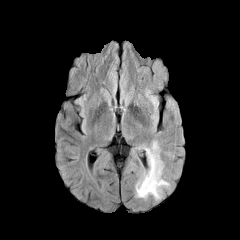
FLAIR MR image.
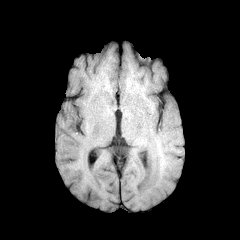
T1-weighted MR image.
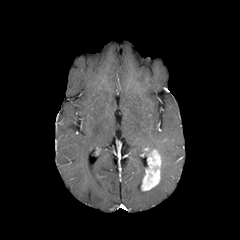
Post-contrast T1-weighted MRI.
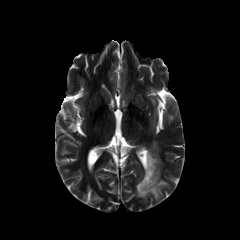
T2-weighted MR image.
240x240, Brain
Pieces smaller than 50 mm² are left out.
enhancing tumor — x1=141, y1=149, x2=161, y2=191
peritumoral edema — x1=136, y1=171, x2=169, y2=199; x1=139, y1=141, x2=160, y2=155